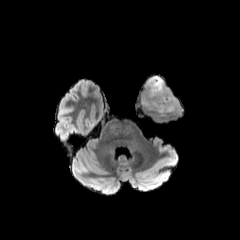
FLAIR MR image.
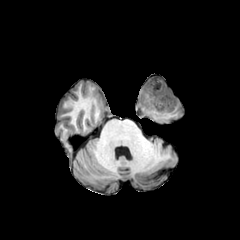
T1-weighted magnetic resonance.
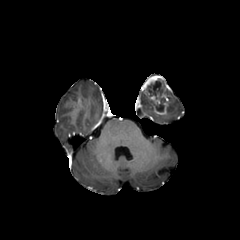
Same slice, post-contrast T1-weighted magnetic resonance.
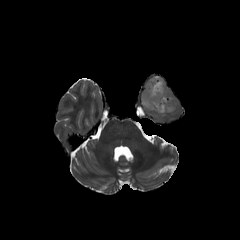
Same slice, T2-weighted magnetic resonance.
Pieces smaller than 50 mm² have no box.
peritumoral edema: bounding box <bbox>141, 91, 152, 110</bbox>, <bbox>167, 95, 177, 113</bbox>
necrotic tumor core: bounding box <bbox>147, 79, 164, 98</bbox>, <bbox>153, 97, 165, 111</bbox>
enhancing tumor: bounding box <bbox>143, 75, 172, 115</bbox>